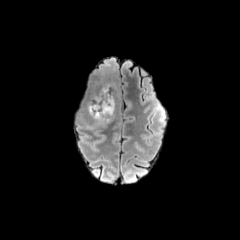
FLAIR magnetic resonance.
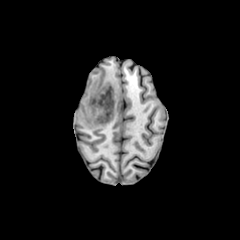
T1-weighted magnetic resonance of the same slice.
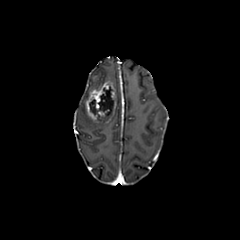
Same slice, post-contrast T1-weighted MR image.
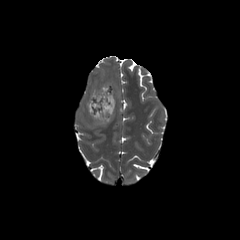
T2-weighted MRI.
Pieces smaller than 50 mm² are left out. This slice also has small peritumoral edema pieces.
The enhancing tumor appears at region(85, 81, 116, 123). 2 necrotic tumor core regions are located at region(89, 100, 97, 114); region(97, 86, 113, 120).